Brain; Axial view; 240x240
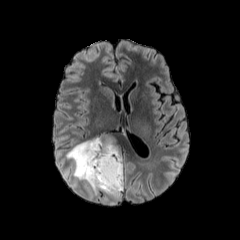
FLAIR MRI.
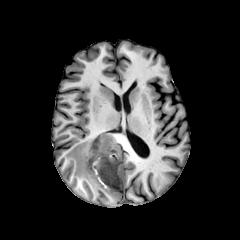
T1-weighted MR.
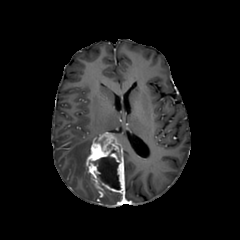
Post-contrast T1-weighted MR image of the same slice.
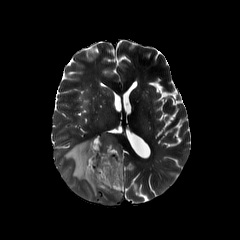
T2-weighted MRI.
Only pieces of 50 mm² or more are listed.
The enhancing tumor is at 85, 133, 124, 194. 2 peritumoral edema regions are bounded by 103, 193, 121, 199; 66, 138, 99, 195. The largest necrotic tumor core region is at 92, 154, 120, 189.